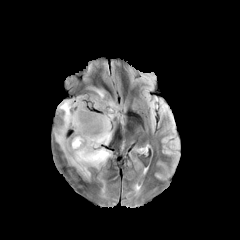
FLAIR magnetic resonance.
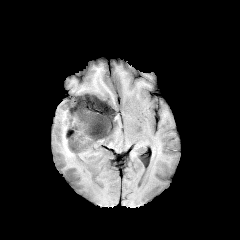
T1-weighted MRI.
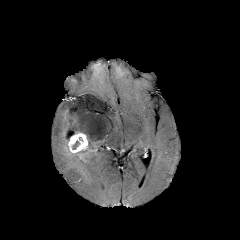
Same slice, post-contrast T1-weighted MRI.
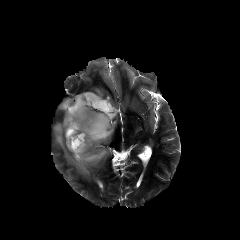
T2-weighted MRI of the same slice.
240x240. Head.
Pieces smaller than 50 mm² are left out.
<segmentation>
  <enhancing_tumor>x1=65, y1=129, x2=88, y2=153</enhancing_tumor>
  <peritumoral_edema>x1=54, y1=88, x2=117, y2=178</peritumoral_edema>
  <necrotic_tumor_core>x1=66, y1=130, x2=74, y2=141</necrotic_tumor_core>
</segmentation>